Axial slice | Image width 240 mm, 1.00 mm slice spacing
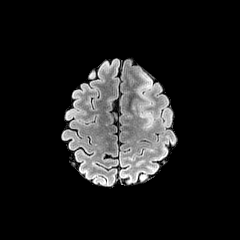
FLAIR magnetic resonance.
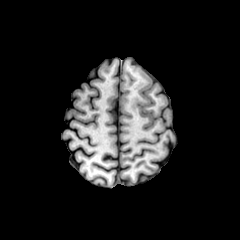
Same slice, T1-weighted magnetic resonance.
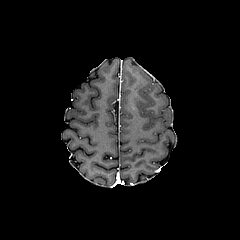
Same slice, post-contrast T1-weighted MR.
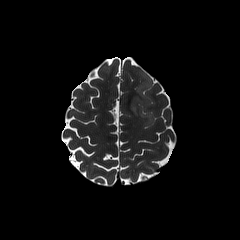
T2-weighted MR image.
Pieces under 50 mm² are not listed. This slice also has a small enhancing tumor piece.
peritumoral edema: box=[137, 74, 154, 127]